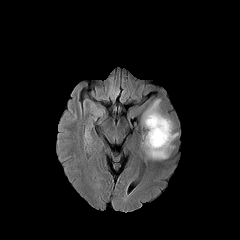
FLAIR MR.
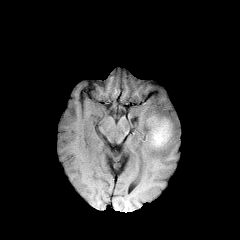
Same slice, T1-weighted MR image.
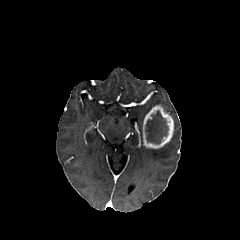
Post-contrast T1-weighted MR image of the same slice.
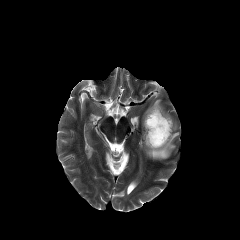
T2-weighted MR image of the same slice.
Brain; 240x240
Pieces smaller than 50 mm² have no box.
The enhancing tumor is bounded by <bbox>142, 105, 173, 148</bbox>. The necrotic tumor core is located at <bbox>145, 111, 167, 143</bbox>. The 2 largest peritumoral edema regions are located at <bbox>142, 99, 160, 126</bbox>, <bbox>142, 132, 178, 159</bbox>.